240x240. Slice 138/155.
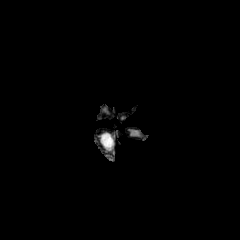
FLAIR magnetic resonance.
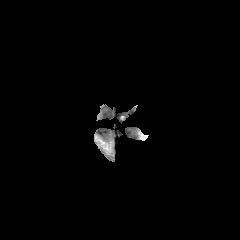
T1-weighted MR of the same slice.
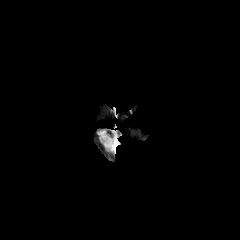
Post-contrast T1-weighted magnetic resonance.
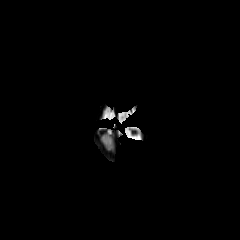
T2-weighted magnetic resonance of the same slice.
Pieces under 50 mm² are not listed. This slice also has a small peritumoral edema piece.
{"enhancing_tumor": ["<box>101,135,112,150</box>"]}